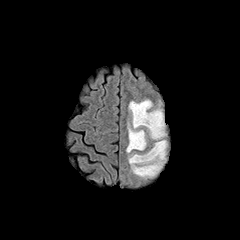
FLAIR magnetic resonance.
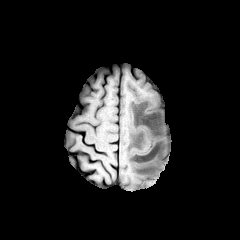
Same slice, T1-weighted MRI.
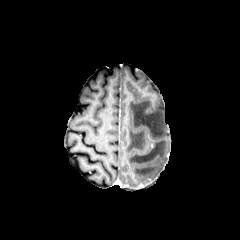
Same slice, post-contrast T1-weighted MR.
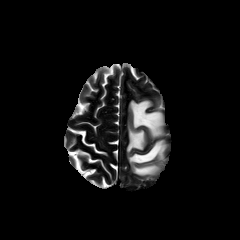
T2-weighted magnetic resonance of the same slice.
Head.
The peritumoral edema lies within box=[126, 99, 167, 178].